Axial plane | Head
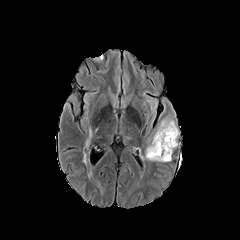
FLAIR MR image.
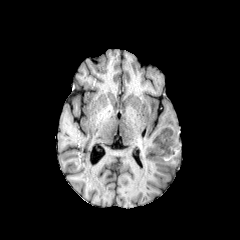
T1-weighted MR of the same slice.
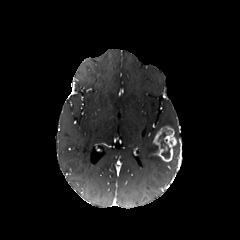
Post-contrast T1-weighted MR.
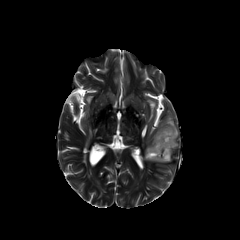
Same slice, T2-weighted MR image.
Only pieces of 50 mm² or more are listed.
The enhancing tumor is located at rect(153, 126, 176, 161). The largest peritumoral edema region is at rect(141, 117, 178, 161). The 2 largest necrotic tumor core regions are bounded by rect(159, 132, 166, 147); rect(162, 147, 169, 160).